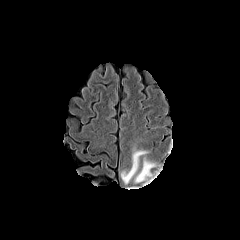
FLAIR MRI.
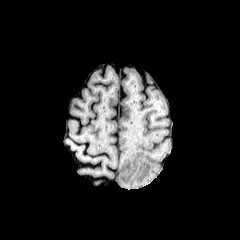
T1-weighted MRI.
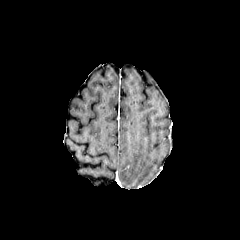
Post-contrast T1-weighted magnetic resonance.
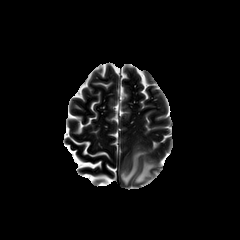
T2-weighted MR image of the same slice.
Head
{
  "peritumoral_edema": [
    "120 151 155 184"
  ]
}